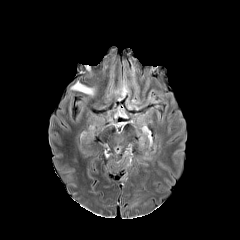
FLAIR MRI.
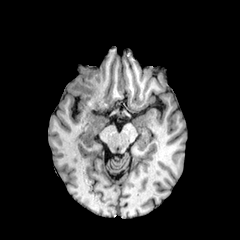
T1-weighted magnetic resonance of the same slice.
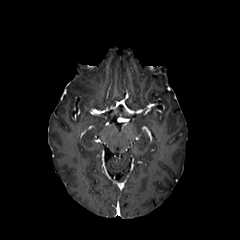
Post-contrast T1-weighted MRI.
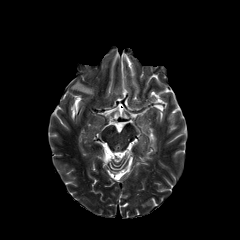
T2-weighted MRI of the same slice.
Image size 240x240
<segmentation>
  <peritumoral_edema>{"x1": 71, "y1": 81, "x2": 94, "y2": 95}</peritumoral_edema>
</segmentation>